FLAIR magnetic resonance.
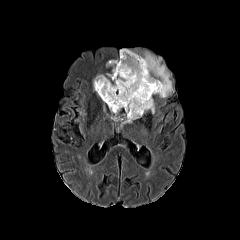
T1-weighted magnetic resonance.
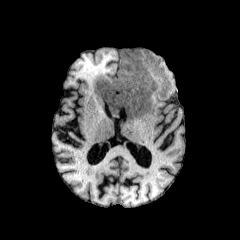
Post-contrast T1-weighted MRI.
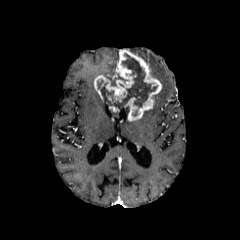
T2-weighted magnetic resonance.
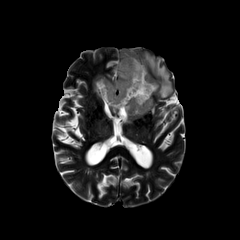
Brain.
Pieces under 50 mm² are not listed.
Findings:
- necrotic tumor core: 97,53,157,109
- enhancing tumor: 94,49,161,121
- peritumoral edema: 140,52,173,97; 106,60,127,85